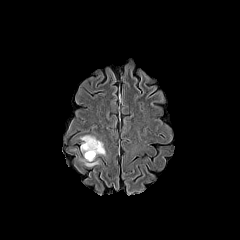
FLAIR MRI.
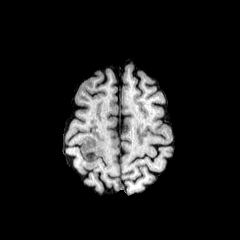
Same slice, T1-weighted MRI.
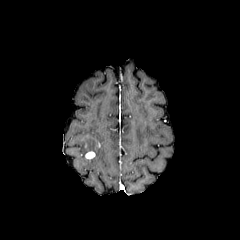
Post-contrast T1-weighted MR of the same slice.
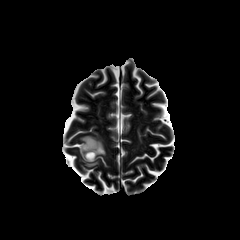
T2-weighted MRI.
Axial slice
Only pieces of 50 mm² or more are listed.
{
  "enhancing_tumor": [
    "(85,150,95,160)"
  ],
  "peritumoral_edema": [
    "(80,135,105,157)",
    "(81,158,98,166)"
  ]
}